Brain, 240x240, Axial view, Slice index 79
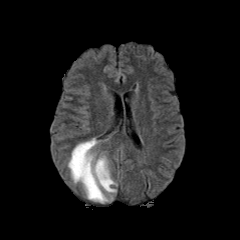
FLAIR MR image.
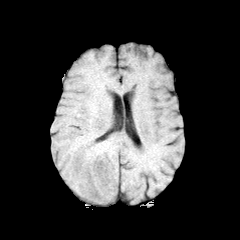
T1-weighted MR.
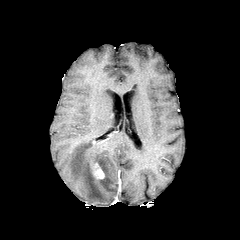
Post-contrast T1-weighted MRI.
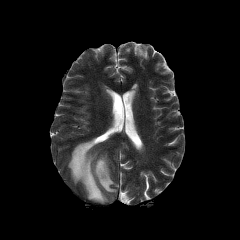
Same slice, T2-weighted MR.
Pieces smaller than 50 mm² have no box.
enhancing tumor: left=93, top=163, right=104, bottom=179 | peritumoral edema: left=68, top=138, right=116, bottom=203